FLAIR MRI.
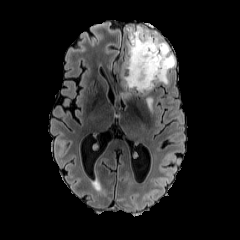
T1-weighted MRI.
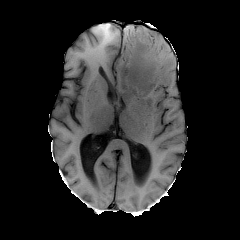
Post-contrast T1-weighted MRI.
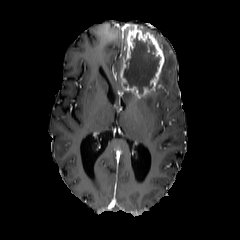
T2-weighted MR image.
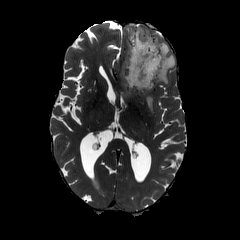
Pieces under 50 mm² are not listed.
enhancing tumor = <bbox>120, 25, 164, 97</bbox>
peritumoral edema = <bbox>137, 25, 175, 84</bbox>, <bbox>122, 91, 131, 100</bbox>, <bbox>141, 94, 153, 113</bbox>
necrotic tumor core = <bbox>123, 33, 159, 93</bbox>